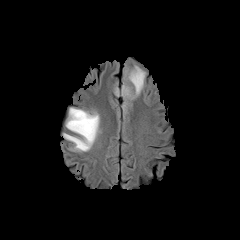
FLAIR magnetic resonance.
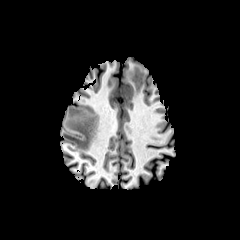
T1-weighted MRI.
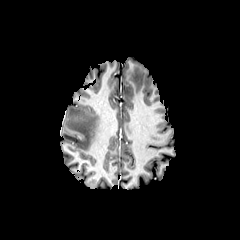
Post-contrast T1-weighted magnetic resonance.
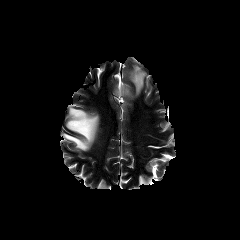
T2-weighted magnetic resonance.
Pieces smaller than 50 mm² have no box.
peritumoral_edema:
  - box=[63, 107, 100, 151]
  - box=[121, 65, 145, 99]